FLAIR magnetic resonance.
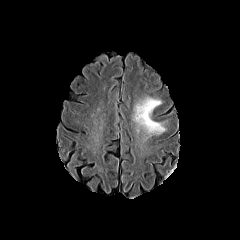
T1-weighted MRI.
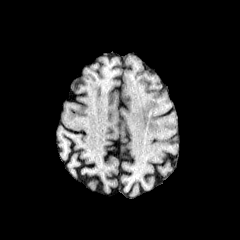
Post-contrast T1-weighted magnetic resonance.
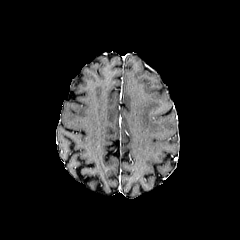
T2-weighted MR.
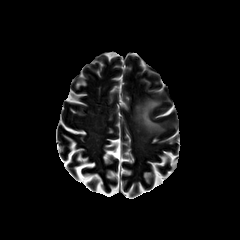
The peritumoral edema is at 133,97,165,135.